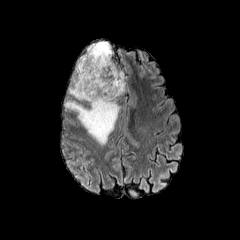
FLAIR magnetic resonance.
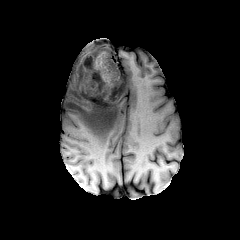
T1-weighted MRI.
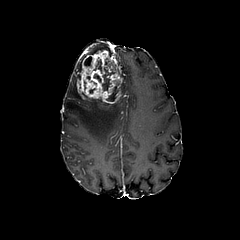
Same slice, post-contrast T1-weighted magnetic resonance.
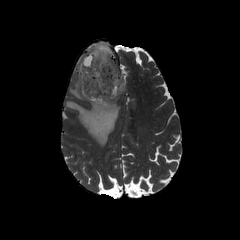
T2-weighted MR image.
Head
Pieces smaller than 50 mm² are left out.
The 4 largest necrotic tumor core regions are located at 84,56,91,66; 94,59,102,73; 106,84,118,101; 102,67,114,90. The enhancing tumor lies within 76,49,123,106. 2 peritumoral edema regions appear at 64,40,120,145; 121,72,125,94.